FLAIR magnetic resonance.
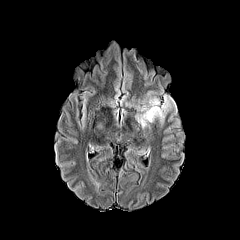
T1-weighted magnetic resonance.
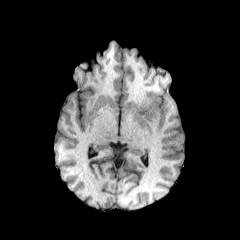
Post-contrast T1-weighted magnetic resonance.
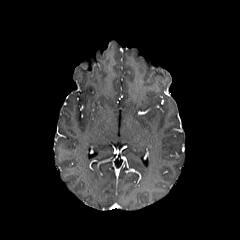
T2-weighted MRI.
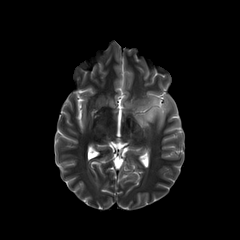
peritumoral edema: bounding box box(136, 96, 170, 128)